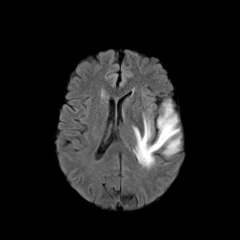
FLAIR MR.
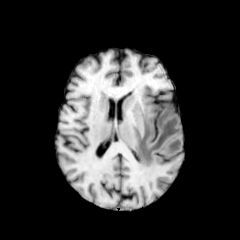
T1-weighted MR image.
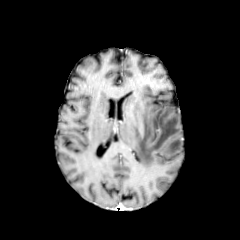
Post-contrast T1-weighted magnetic resonance.
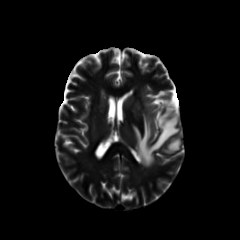
T2-weighted MR of the same slice.
240x240 px
peritumoral edema: bounding box x1=134 y1=104 x2=179 y2=165, x1=167 y1=140 x2=180 y2=153